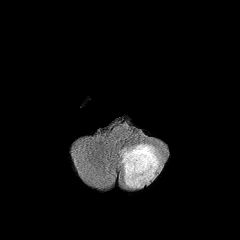
FLAIR magnetic resonance.
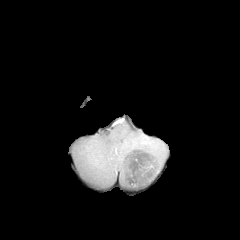
Same slice, T1-weighted MR image.
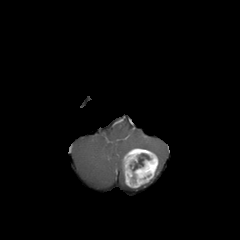
Post-contrast T1-weighted magnetic resonance.
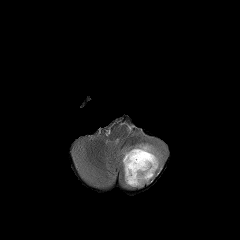
T2-weighted MR of the same slice.
240x240 px, Axial plane
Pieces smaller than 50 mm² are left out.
{"necrotic_tumor_core": ["box=[132, 153, 149, 171]"], "enhancing_tumor": ["box=[122, 148, 158, 187]"], "peritumoral_edema": ["box=[118, 141, 165, 177]"]}